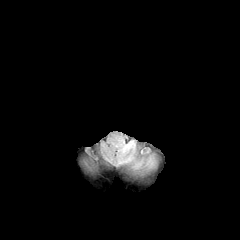
FLAIR MRI.
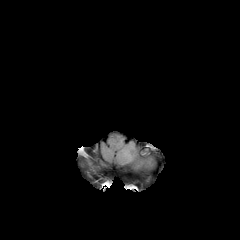
T1-weighted MR.
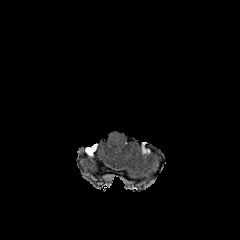
Post-contrast T1-weighted MRI.
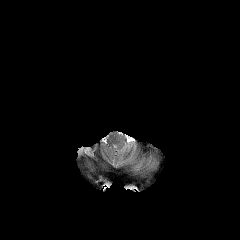
T2-weighted magnetic resonance of the same slice.
Axial slice
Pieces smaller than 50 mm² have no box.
The largest peritumoral edema region is bounded by (115, 140, 135, 164).